FLAIR magnetic resonance.
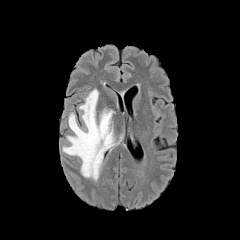
T1-weighted MR image.
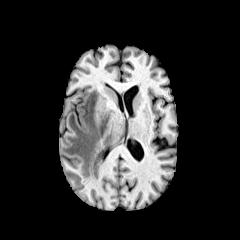
Post-contrast T1-weighted magnetic resonance.
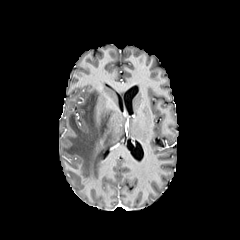
T2-weighted MR.
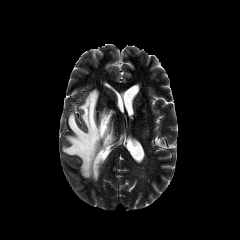
Head | 240x240 | Axial plane
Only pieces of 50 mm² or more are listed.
{"peritumoral_edema": ["62, 89, 116, 180"]}